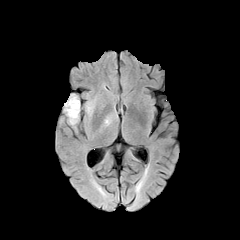
FLAIR MR.
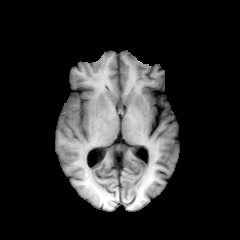
T1-weighted MRI of the same slice.
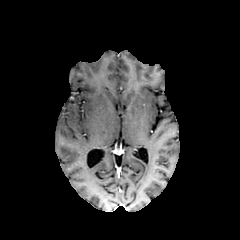
Post-contrast T1-weighted magnetic resonance of the same slice.
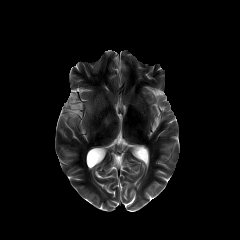
Same slice, T2-weighted MR.
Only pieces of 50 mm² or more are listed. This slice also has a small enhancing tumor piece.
The largest peritumoral edema region is bounded by x1=64, y1=94, x2=79, y2=125.